FLAIR MR.
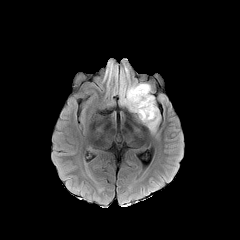
T1-weighted magnetic resonance.
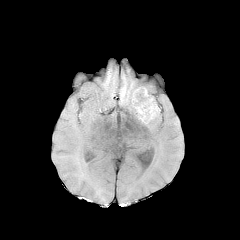
Post-contrast T1-weighted MRI.
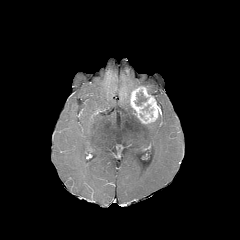
T2-weighted MR image.
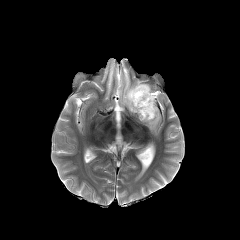
Brain, 240x240 px
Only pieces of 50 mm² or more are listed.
necrotic_tumor_core:
  - 135 91 147 105
enhancing_tumor:
  - 130 86 159 123
peritumoral_edema:
  - 119 82 151 112
  - 145 110 160 132